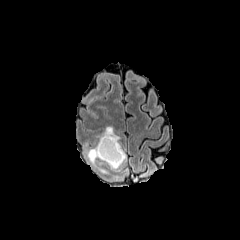
FLAIR MR image.
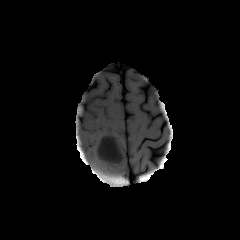
T1-weighted MR image.
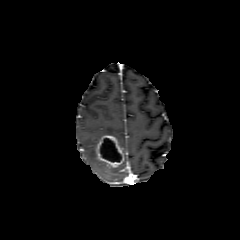
Post-contrast T1-weighted magnetic resonance of the same slice.
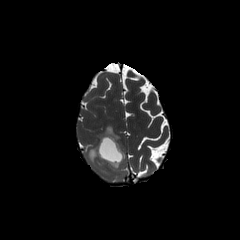
T2-weighted MR image.
Axial plane, Image size 240x240, Brain
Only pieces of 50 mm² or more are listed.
necrotic tumor core at (100,138,121,162)
peritumoral edema at (88,146,108,173), (107,153,126,170), (98,126,119,140)
enhancing tumor at (95,134,124,167)